Slice 61/155. Brain.
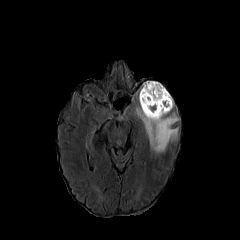
FLAIR magnetic resonance.
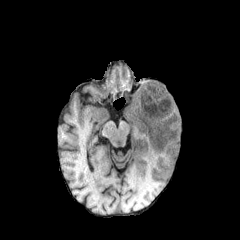
T1-weighted MR.
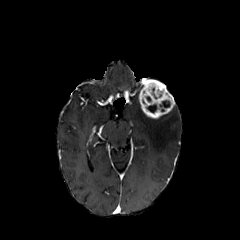
Post-contrast T1-weighted MRI.
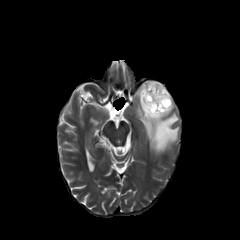
T2-weighted MR.
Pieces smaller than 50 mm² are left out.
The 2 largest necrotic tumor core regions are located at bbox=[147, 104, 156, 112]; bbox=[160, 100, 170, 107]. The enhancing tumor lies within bbox=[139, 80, 174, 118]. The largest peritumoral edema region lies within bbox=[136, 105, 179, 154].